Image width 240 mm; 240x240 px; Head
FLAIR MR.
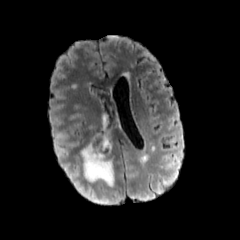
T1-weighted MR.
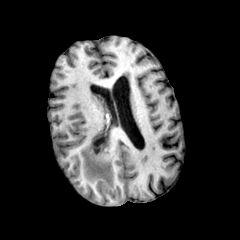
Post-contrast T1-weighted MR.
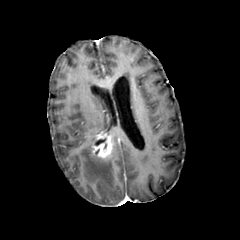
T2-weighted MR image.
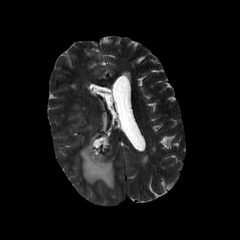
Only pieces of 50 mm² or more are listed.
peritumoral edema: box=[103, 115, 107, 129]; box=[81, 143, 114, 187] | enhancing tumor: box=[92, 132, 112, 158] | necrotic tumor core: box=[94, 138, 105, 145]